Axial view; 240x240 px
FLAIR magnetic resonance.
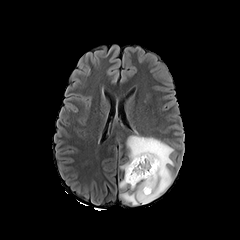
T1-weighted magnetic resonance.
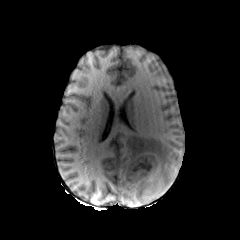
Post-contrast T1-weighted magnetic resonance.
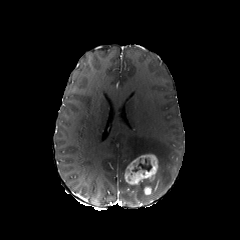
T2-weighted MR image.
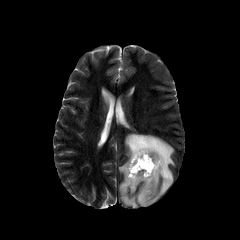
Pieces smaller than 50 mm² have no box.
The peritumoral edema is bounded by [118,133,174,205]. 2 enhancing tumor regions are bounded by [143,186,152,195], [124,154,158,185]. The largest necrotic tumor core region is at [138,158,151,171].